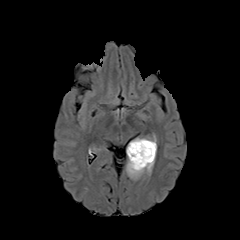
FLAIR MR.
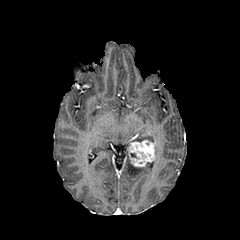
Same slice, T1-weighted MRI.
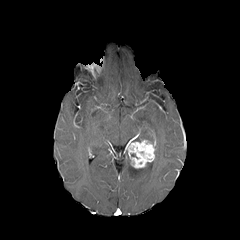
Same slice, post-contrast T1-weighted MRI.
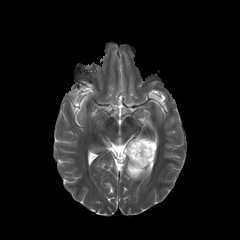
T2-weighted MR.
Brain | Axial view | Image size 240x240
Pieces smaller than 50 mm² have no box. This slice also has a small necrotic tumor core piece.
Findings:
• peritumoral edema: <bbox>126, 156, 144, 180</bbox>, <bbox>145, 136, 157, 176</bbox>
• enhancing tumor: <bbox>127, 139, 155, 168</bbox>